FLAIR magnetic resonance.
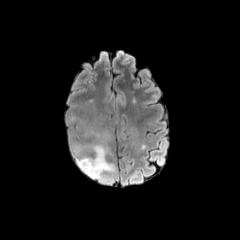
T1-weighted MRI.
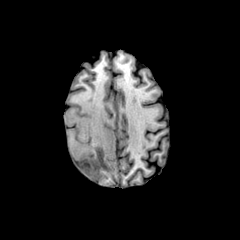
Post-contrast T1-weighted MRI.
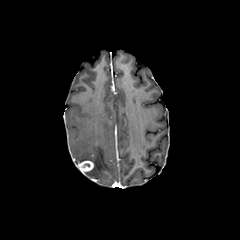
T2-weighted MRI.
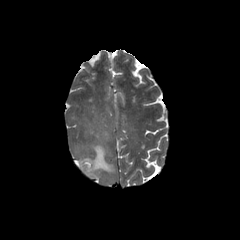
Brain.
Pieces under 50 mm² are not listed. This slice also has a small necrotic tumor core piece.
• enhancing tumor: <bbox>78, 160, 93, 173</bbox>
• peritumoral edema: <bbox>74, 130, 116, 183</bbox>